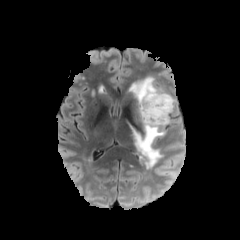
FLAIR MRI.
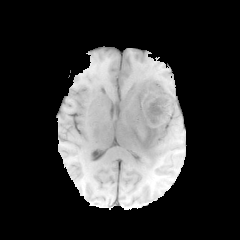
T1-weighted MRI of the same slice.
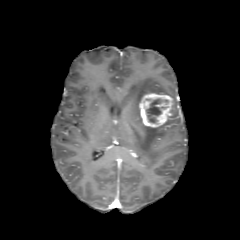
Post-contrast T1-weighted MR.
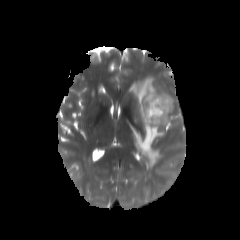
T2-weighted MRI of the same slice.
Brain | Axial slice | Image size 240x240
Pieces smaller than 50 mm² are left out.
The 2 largest peritumoral edema regions are bounded by 132, 124, 164, 168; 129, 76, 168, 106. The enhancing tumor is bounded by 139, 93, 173, 127. The largest necrotic tumor core region is at 146, 99, 161, 122.